240x240 px, Image width 240 mm, 1.00 mm slice spacing, Axial slice
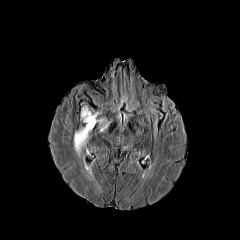
FLAIR MR.
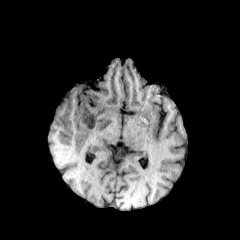
Same slice, T1-weighted MR.
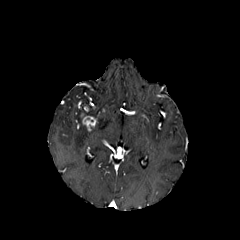
Post-contrast T1-weighted MR image of the same slice.
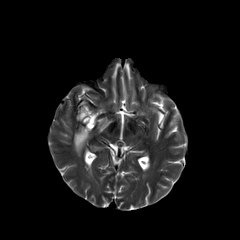
Same slice, T2-weighted MR image.
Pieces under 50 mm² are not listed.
The largest enhancing tumor region is located at (left=80, top=112, right=96, bottom=131). The largest peritumoral edema region is located at (left=74, top=125, right=88, bottom=156).